FLAIR MR.
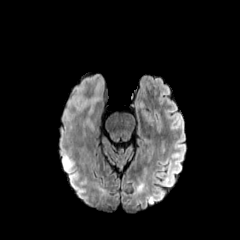
T1-weighted MR.
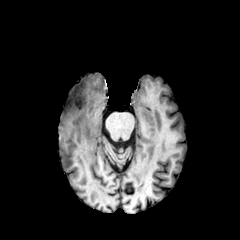
Post-contrast T1-weighted magnetic resonance.
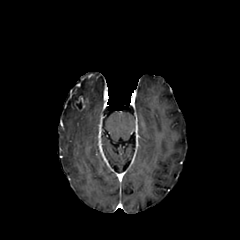
T2-weighted magnetic resonance.
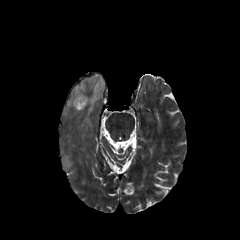
Brain
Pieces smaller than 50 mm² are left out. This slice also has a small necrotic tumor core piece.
enhancing tumor — (70,83,80,97), (74,95,90,110)
peritumoral edema — (64,157,72,169), (63,74,104,119)